FLAIR MR.
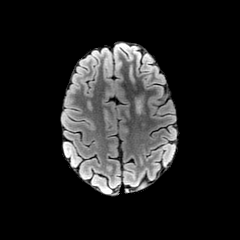
T1-weighted MR.
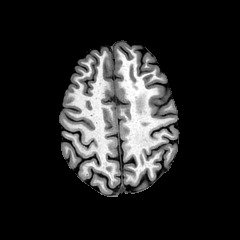
Post-contrast T1-weighted MRI.
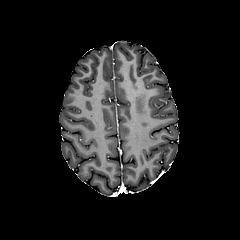
T2-weighted magnetic resonance.
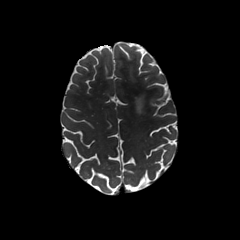
Axial slice
{
  "peritumoral_edema": [
    "[x1=135, y1=97, x2=142, y2=113]"
  ]
}